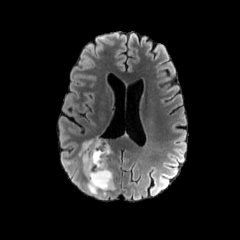
FLAIR MR.
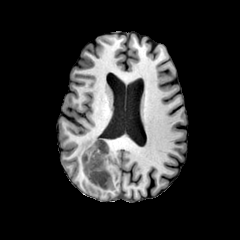
T1-weighted MR image.
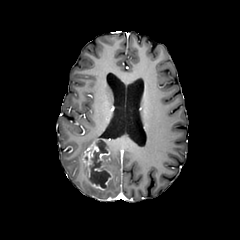
Post-contrast T1-weighted MR.
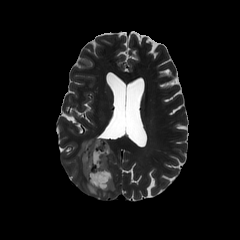
T2-weighted MR image.
240x240; Head
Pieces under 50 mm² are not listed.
Segmented structures:
• peritumoral edema: x1=79 y1=138 x2=98 y2=159, x1=87 y1=182 x2=98 y2=195, x1=101 y1=177 x2=114 y2=195
• enhancing tumor: x1=98 y1=148 x2=112 y2=187, x1=82 y1=139 x2=107 y2=189
• necrotic tumor core: x1=89 y1=141 x2=109 y2=187